Brain, Slice index 64, Image covers 240 mm x 240 mm
FLAIR MR.
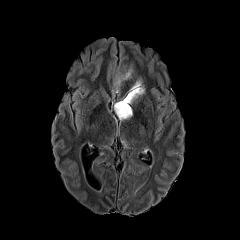
T1-weighted MR.
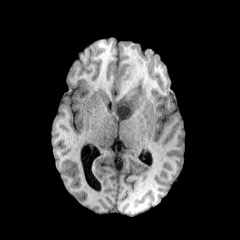
Post-contrast T1-weighted MR.
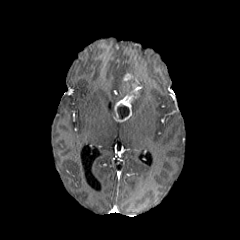
T2-weighted MR image.
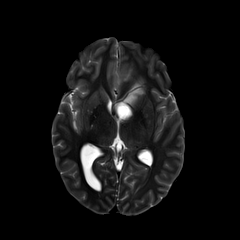
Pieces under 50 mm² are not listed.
The necrotic tumor core appears at {"x1": 117, "y1": 105, "x2": 129, "y2": 119}. The 2 largest peritumoral edema regions are bounded by {"x1": 131, "y1": 79, "x2": 144, "y2": 115}, {"x1": 116, "y1": 75, "x2": 124, "y2": 91}. 2 enhancing tumor regions are bounded by {"x1": 114, "y1": 79, "x2": 141, "y2": 121}, {"x1": 123, "y1": 73, "x2": 132, "y2": 80}.